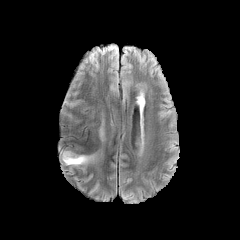
FLAIR MR image.
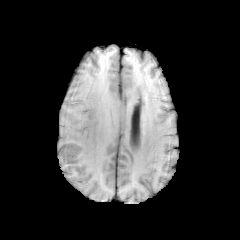
T1-weighted magnetic resonance of the same slice.
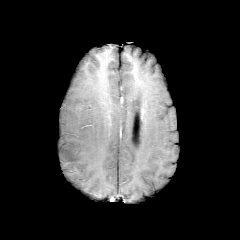
Post-contrast T1-weighted magnetic resonance of the same slice.
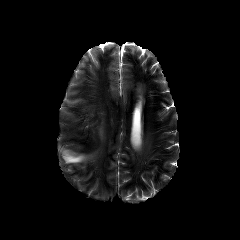
T2-weighted MR of the same slice.
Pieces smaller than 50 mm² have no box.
Findings:
• peritumoral edema: [59, 147, 95, 165]